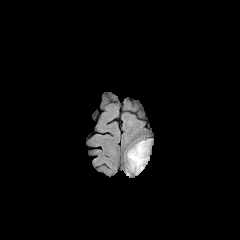
FLAIR MRI.
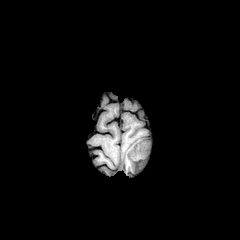
Same slice, T1-weighted magnetic resonance.
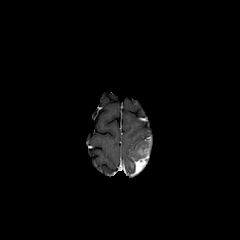
Post-contrast T1-weighted MR of the same slice.
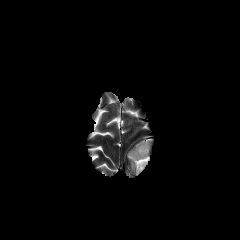
T2-weighted magnetic resonance.
240x240, Brain, Axial view
{
  "enhancing_tumor": [
    "[132, 148, 148, 173]"
  ],
  "peritumoral_edema": [
    "[128, 141, 147, 168]"
  ]
}